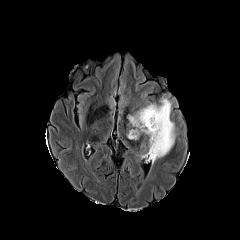
FLAIR magnetic resonance.
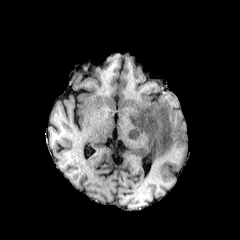
T1-weighted MR.
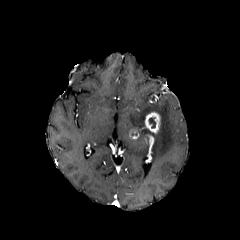
Post-contrast T1-weighted MRI.
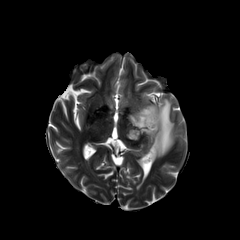
T2-weighted MR.
Image size 240x240
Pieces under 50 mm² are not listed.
enhancing tumor — x1=144, y1=135, x2=153, y2=153; x1=129, y1=112, x2=160, y2=139
necrotic tumor core — x1=149, y1=117, x2=155, y2=128
peritumoral edema — x1=128, y1=98, x2=175, y2=164